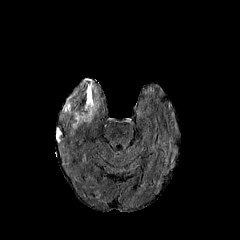
FLAIR MR image.
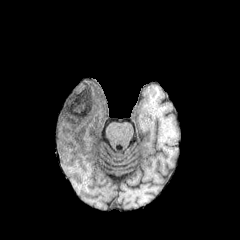
Same slice, T1-weighted MR.
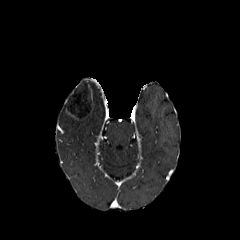
Post-contrast T1-weighted magnetic resonance.
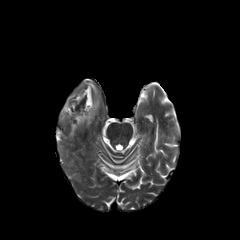
T2-weighted MR image of the same slice.
Image size 240x240. Brain.
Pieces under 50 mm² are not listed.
{
  "enhancing_tumor": [
    {"x1": 74, "y1": 83, "x2": 86, "y2": 94},
    {"x1": 67, "y1": 97, "x2": 75, "y2": 107},
    {"x1": 65, "y1": 84, "x2": 95, "y2": 119}
  ],
  "necrotic_tumor_core": [
    {"x1": 67, "y1": 82, "x2": 92, "y2": 118}
  ],
  "peritumoral_edema": [
    {"x1": 71, "y1": 80, "x2": 99, "y2": 134}
  ]
}